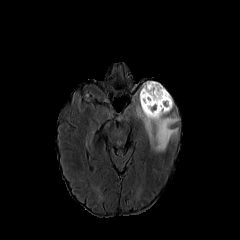
FLAIR MRI.
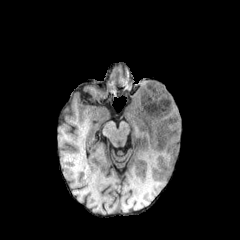
T1-weighted MRI.
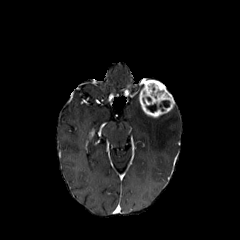
Post-contrast T1-weighted MR image.
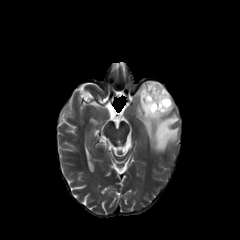
T2-weighted MRI.
Brain, Image size 240x240
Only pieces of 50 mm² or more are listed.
The enhancing tumor is located at box(139, 80, 174, 117). The 2 largest necrotic tumor core regions are located at box(159, 100, 169, 111); box(146, 104, 157, 112). The largest peritumoral edema region is at box(136, 102, 179, 152).